FLAIR MRI.
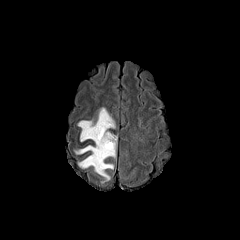
T1-weighted MR.
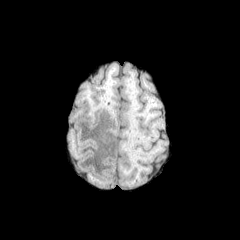
Post-contrast T1-weighted MR.
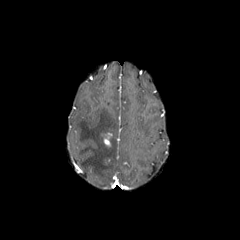
T2-weighted MRI.
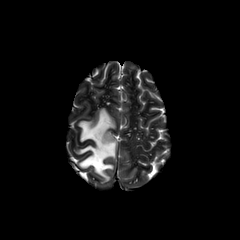
enhancing tumor — [102,132,112,146]
peritumoral edema — [75,108,116,183]